Slice index 97. Axial slice.
FLAIR MRI.
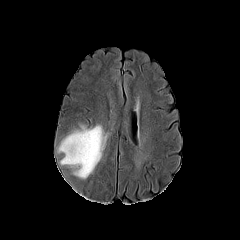
T1-weighted magnetic resonance.
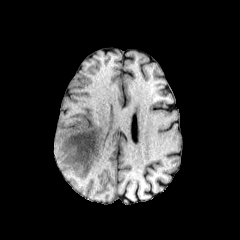
Post-contrast T1-weighted MRI.
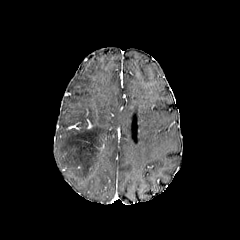
T2-weighted MRI.
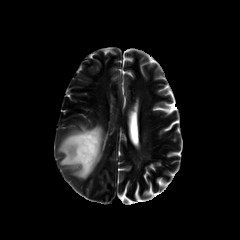
peritumoral_edema:
  - 58:125:103:178